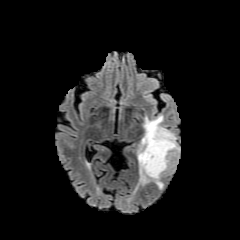
FLAIR MR image.
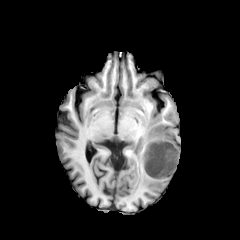
Same slice, T1-weighted magnetic resonance.
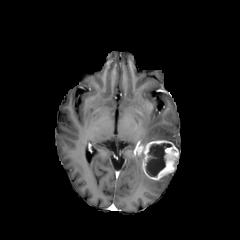
Same slice, post-contrast T1-weighted MR.
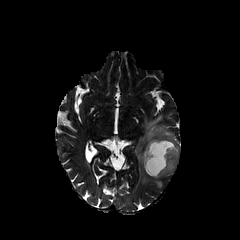
Same slice, T2-weighted MRI.
Head | Axial slice
enhancing_tumor:
  - box(136, 140, 178, 180)
peritumoral_edema:
  - box(137, 152, 163, 188)
  - box(141, 115, 180, 153)
necrotic_tumor_core:
  - box(146, 143, 171, 176)